Head | Axial view | 240x240 px
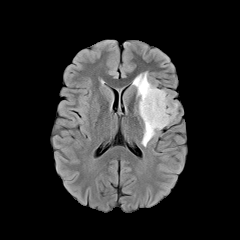
FLAIR magnetic resonance.
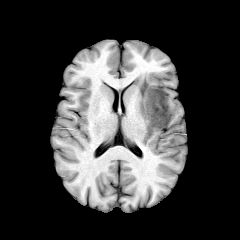
T1-weighted magnetic resonance.
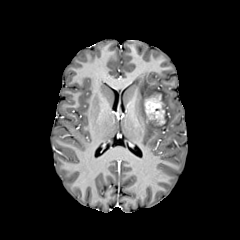
Same slice, post-contrast T1-weighted MR.
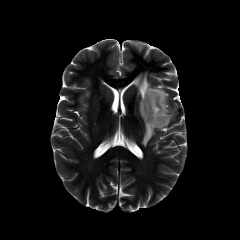
T2-weighted magnetic resonance of the same slice.
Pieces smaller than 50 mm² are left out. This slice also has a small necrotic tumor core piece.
<segmentation>
  <peritumoral_edema>[133,72,177,147]</peritumoral_edema>
  <enhancing_tumor>[144,94,165,124]</enhancing_tumor>
</segmentation>